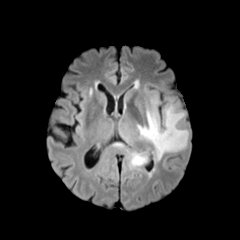
FLAIR MRI.
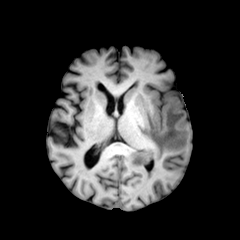
T1-weighted MR.
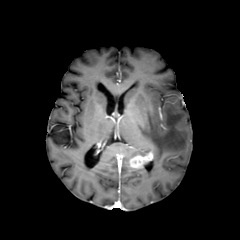
Same slice, post-contrast T1-weighted MR image.
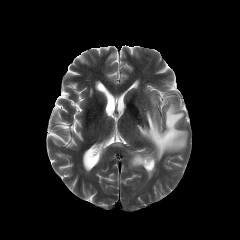
Same slice, T2-weighted MRI.
Head
Annotated regions:
- enhancing tumor: x1=130 y1=152 x2=152 y2=167
- peritumoral edema: x1=129 y1=152 x2=147 y2=168, x1=137 y1=98 x2=187 y2=161